FLAIR MR image.
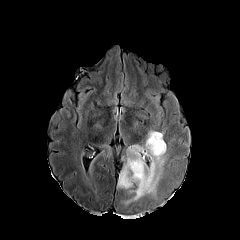
T1-weighted magnetic resonance.
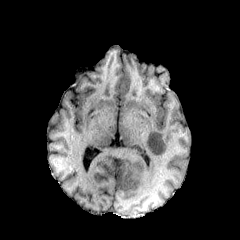
Post-contrast T1-weighted MR.
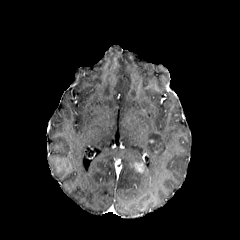
T2-weighted MR.
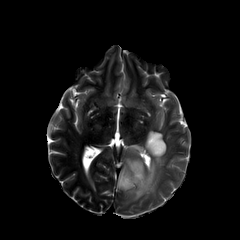
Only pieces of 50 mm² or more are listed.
necrotic tumor core: bounding box (150,139,160,153)
enhancing tumor: bounding box (133,162,143,172)
peritumoral edema: bounding box (117,130,166,200)